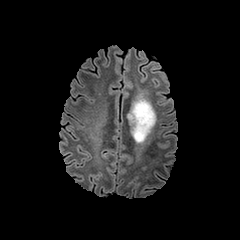
FLAIR magnetic resonance.
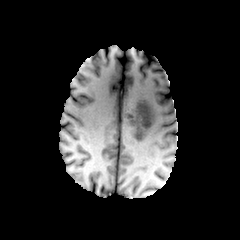
T1-weighted MRI.
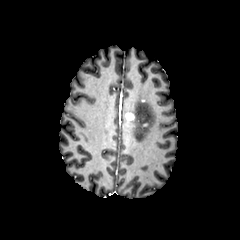
Post-contrast T1-weighted MR image.
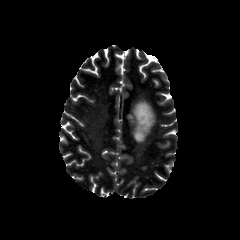
T2-weighted MR of the same slice.
Axial view
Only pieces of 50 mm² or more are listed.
The peritumoral edema is at l=128, t=98, r=155, b=142. The largest enhancing tumor region is at l=126, t=113, r=134, b=119.